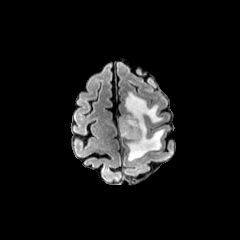
FLAIR MR image.
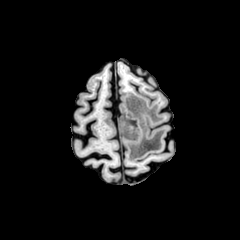
T1-weighted MR of the same slice.
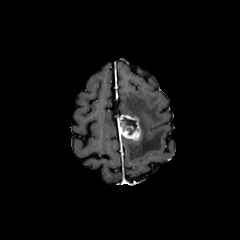
Post-contrast T1-weighted MRI of the same slice.
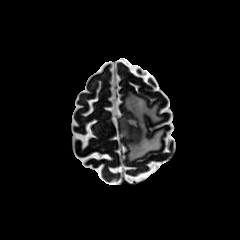
T2-weighted MR image.
Brain; Image size 240x240
peritumoral_edema:
  - (left=124, top=92, right=164, bottom=161)
enhancing_tumor:
  - (left=118, top=114, right=140, bottom=141)
necrotic_tumor_core:
  - (left=122, top=117, right=136, bottom=134)